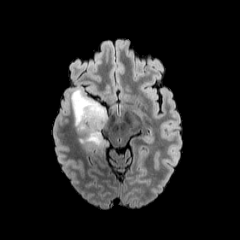
FLAIR magnetic resonance.
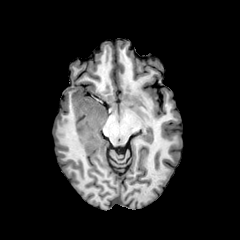
T1-weighted magnetic resonance.
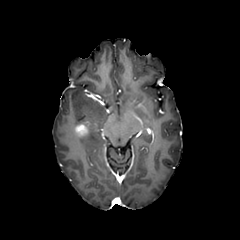
Post-contrast T1-weighted MR image of the same slice.
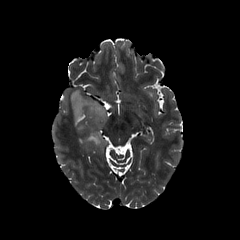
T2-weighted MRI of the same slice.
240x240
enhancing tumor at left=75, top=123, right=87, bottom=135
peritumoral edema at left=71, top=89, right=107, bottom=151